Image width 240 mm | Brain | 240x240 px
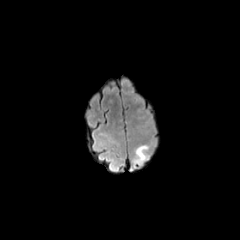
FLAIR MRI.
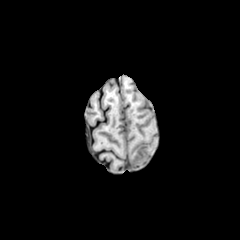
T1-weighted MR.
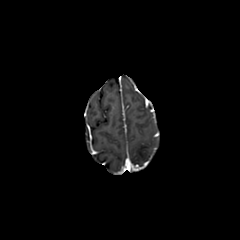
Same slice, post-contrast T1-weighted MR image.
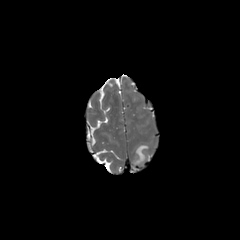
T2-weighted MR of the same slice.
peritumoral_edema:
  - bbox(133, 145, 148, 164)